Slice 79 of 155.
FLAIR MR image.
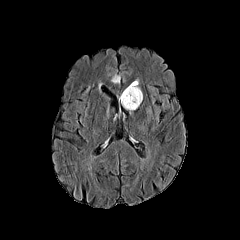
T1-weighted magnetic resonance.
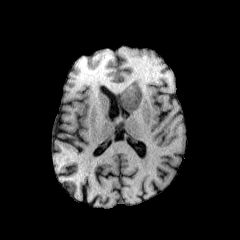
Post-contrast T1-weighted MRI.
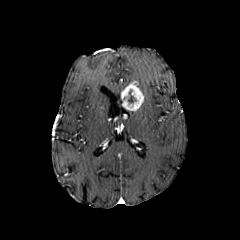
T2-weighted magnetic resonance.
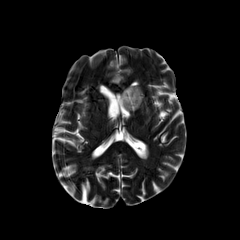
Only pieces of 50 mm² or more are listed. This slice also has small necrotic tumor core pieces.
enhancing tumor: <box>120,84,143,110</box> | peritumoral edema: <box>111,75,119,83</box>